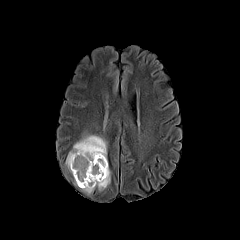
FLAIR MR.
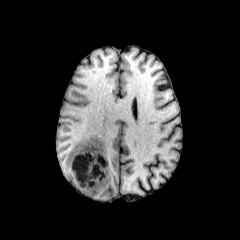
T1-weighted MR.
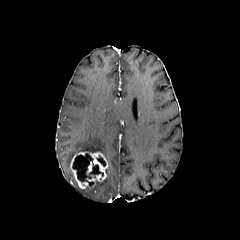
Post-contrast T1-weighted MR.
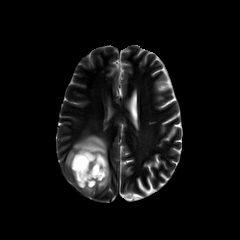
T2-weighted MRI of the same slice.
Head. Axial slice.
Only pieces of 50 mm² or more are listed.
peritumoral edema: bounding box x1=95, y1=166, x2=110, y2=190; x1=65, y1=135, x2=107, y2=173; x1=82, y1=187, x2=94, y2=193
necrotic tumor core: bounding box x1=97, y1=156, x2=105, y2=166; x1=72, y1=153, x2=103, y2=186
enhancing tumor: bounding box x1=70, y1=151, x2=108, y2=188